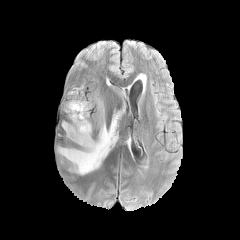
FLAIR magnetic resonance.
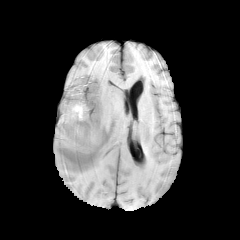
T1-weighted magnetic resonance.
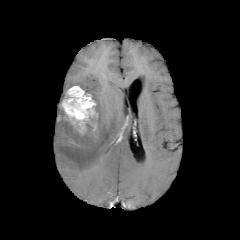
Post-contrast T1-weighted MRI of the same slice.
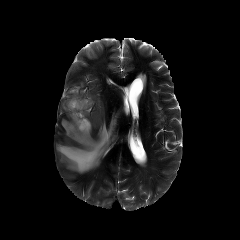
T2-weighted MRI of the same slice.
Axial slice; 240x240; Brain
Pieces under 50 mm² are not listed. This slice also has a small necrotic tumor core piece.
Findings:
• peritumoral edema: (57, 97, 119, 174)
• enhancing tumor: (62, 86, 97, 133)